Axial slice | Head
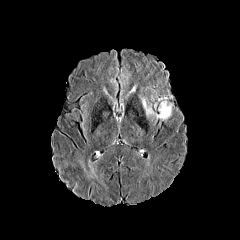
FLAIR magnetic resonance.
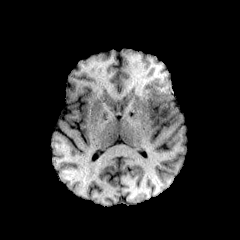
T1-weighted magnetic resonance.
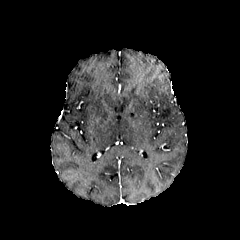
Same slice, post-contrast T1-weighted MR image.
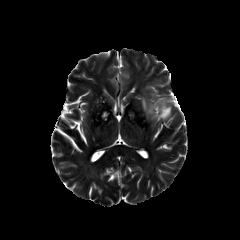
Same slice, T2-weighted magnetic resonance.
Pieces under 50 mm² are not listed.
peritumoral edema: region(155, 97, 171, 119); region(141, 97, 154, 116)